FLAIR MR image.
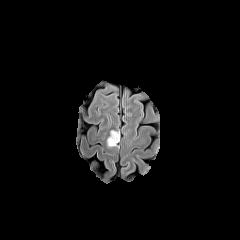
T1-weighted MRI.
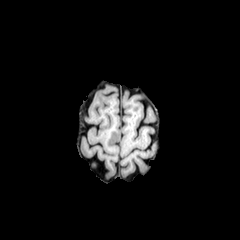
Post-contrast T1-weighted MR image.
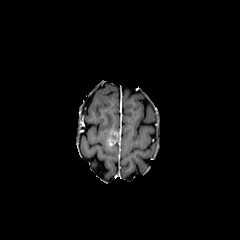
T2-weighted MRI.
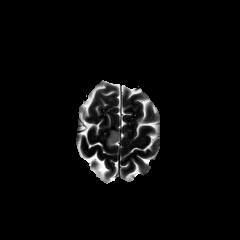
Axial view
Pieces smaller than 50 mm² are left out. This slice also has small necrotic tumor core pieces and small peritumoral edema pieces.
The enhancing tumor appears at [108, 131, 118, 145].